Image size 240x240
FLAIR MRI.
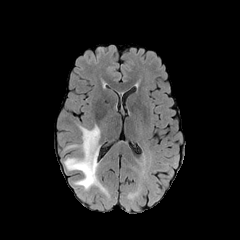
T1-weighted MRI.
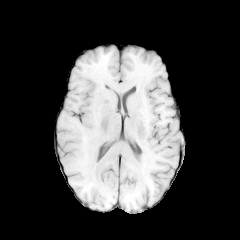
Post-contrast T1-weighted MR.
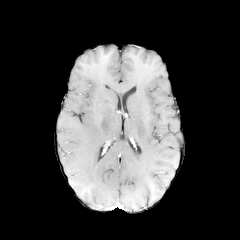
T2-weighted MR.
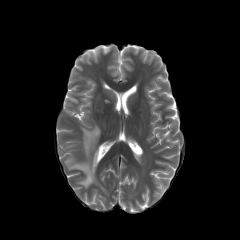
peritumoral edema at 63,124,108,194